Slice index 58. Brain.
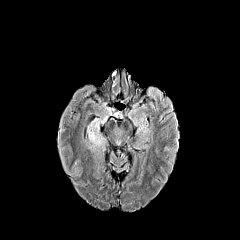
FLAIR MR image.
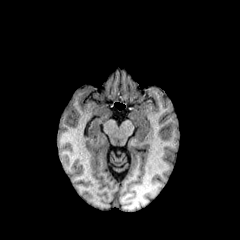
T1-weighted MRI of the same slice.
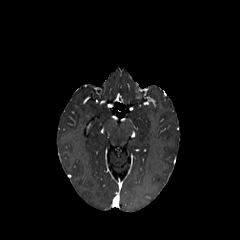
Post-contrast T1-weighted MRI.
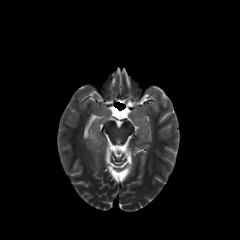
T2-weighted MRI.
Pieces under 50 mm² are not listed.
- peritumoral edema: bbox(89, 125, 104, 147)